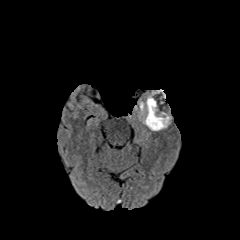
FLAIR MR image.
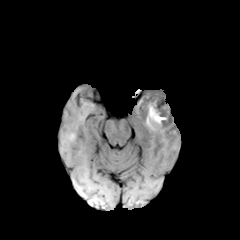
T1-weighted MR image.
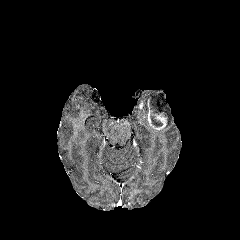
Post-contrast T1-weighted MR.
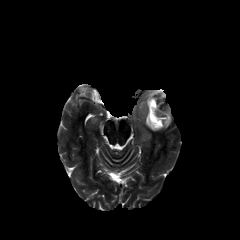
Same slice, T2-weighted MR.
240x240 px; Axial view
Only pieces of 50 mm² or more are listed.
<segmentation>
  <necrotic_tumor_core>x1=149 y1=92 x2=167 y2=126</necrotic_tumor_core>
  <peritumoral_edema>x1=162 y1=104 x2=171 y2=129, x1=130 y1=89 x2=165 y2=131</peritumoral_edema>
  <enhancing_tumor>x1=147 y1=99 x2=167 y2=130</enhancing_tumor>
</segmentation>